Slice 81 of 155.
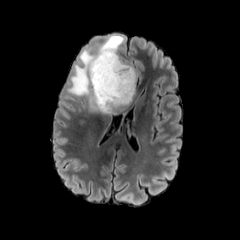
FLAIR magnetic resonance.
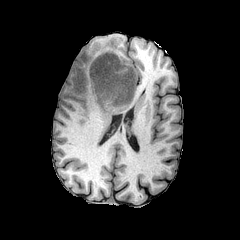
Same slice, T1-weighted magnetic resonance.
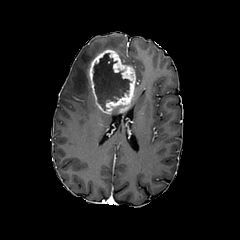
Post-contrast T1-weighted magnetic resonance of the same slice.
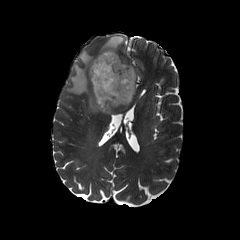
Same slice, T2-weighted MR.
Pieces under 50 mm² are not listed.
peritumoral_edema:
  - l=67, t=35, r=123, b=113
necrotic_tumor_core:
  - l=93, t=53, r=132, b=110
enhancing_tumor:
  - l=88, t=49, r=135, b=114